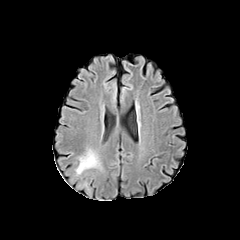
FLAIR MRI.
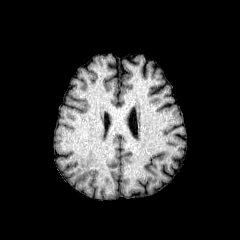
T1-weighted MR.
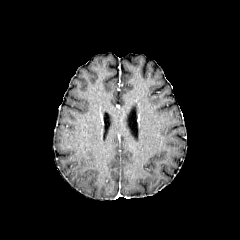
Same slice, post-contrast T1-weighted MR image.
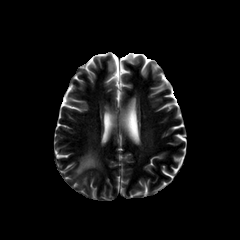
Same slice, T2-weighted magnetic resonance.
240x240. Head.
Annotated regions:
• peritumoral edema: box(76, 151, 100, 173)